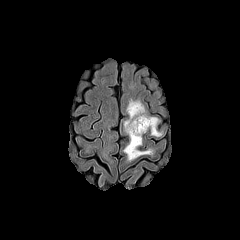
FLAIR MR image.
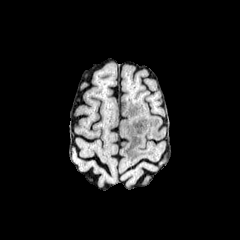
T1-weighted MRI of the same slice.
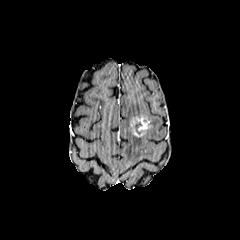
Post-contrast T1-weighted MRI of the same slice.
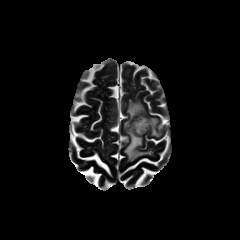
T2-weighted magnetic resonance.
Axial plane. Brain. Image size 240x240.
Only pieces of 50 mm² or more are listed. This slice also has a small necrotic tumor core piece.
The enhancing tumor is located at box(129, 116, 150, 137). 2 peritumoral edema regions are located at box(124, 99, 152, 160); box(148, 117, 161, 136).